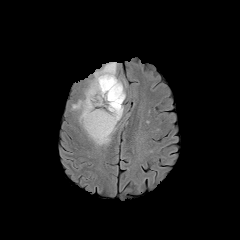
FLAIR MR image.
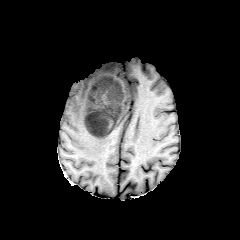
T1-weighted MRI.
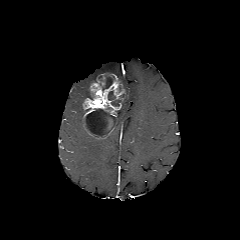
Post-contrast T1-weighted magnetic resonance.
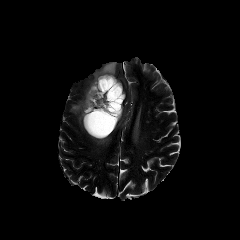
Same slice, T2-weighted magnetic resonance.
Axial view, Head, 240x240 px
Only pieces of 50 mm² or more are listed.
<segmentation>
  <necrotic_tumor_core>bbox=[102, 75, 114, 90]; bbox=[85, 109, 115, 136]; bbox=[108, 91, 115, 100]; bbox=[111, 100, 121, 106]</necrotic_tumor_core>
  <peritumoral_edema>bbox=[71, 62, 126, 146]</peritumoral_edema>
  <enhancing_tumor>bbox=[83, 73, 124, 139]</enhancing_tumor>
</segmentation>